Slice index 114
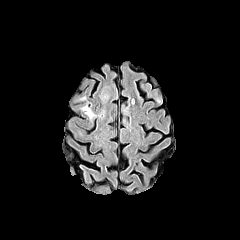
FLAIR MR.
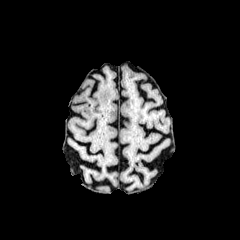
T1-weighted magnetic resonance.
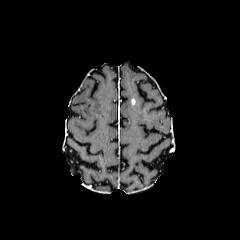
Post-contrast T1-weighted MR image.
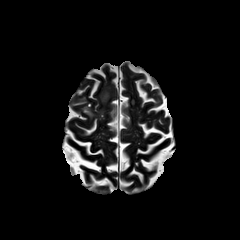
T2-weighted MR image.
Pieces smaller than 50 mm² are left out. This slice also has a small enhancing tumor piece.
The largest peritumoral edema region is located at rect(82, 105, 95, 118).